Brain | Slice index 64
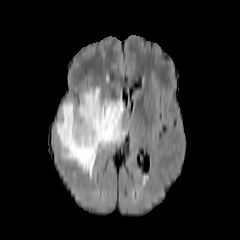
FLAIR MRI.
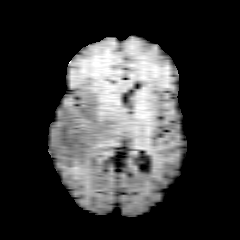
T1-weighted MR of the same slice.
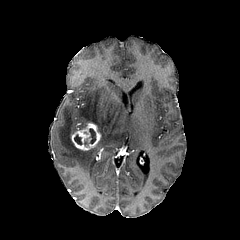
Post-contrast T1-weighted magnetic resonance of the same slice.
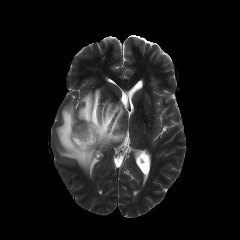
T2-weighted magnetic resonance.
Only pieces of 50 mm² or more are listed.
enhancing tumor: bounding box bbox(71, 122, 101, 150)
peritumoral edema: bounding box bbox(56, 88, 125, 176)
necrotic tumor core: bounding box bbox(74, 135, 82, 144); bbox(89, 128, 95, 143)